Axial plane, Brain
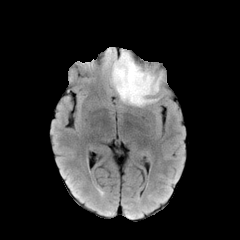
FLAIR MR.
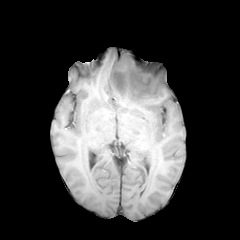
T1-weighted MR image of the same slice.
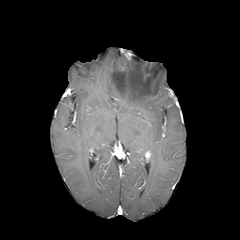
Post-contrast T1-weighted MRI.
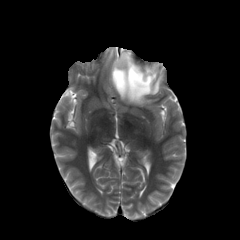
T2-weighted magnetic resonance.
peritumoral edema: region(112, 53, 161, 105) | enhancing tumor: region(122, 49, 131, 59)